FLAIR MR image.
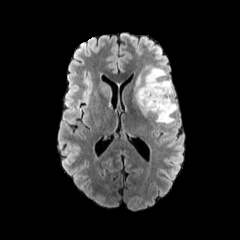
T1-weighted MR image.
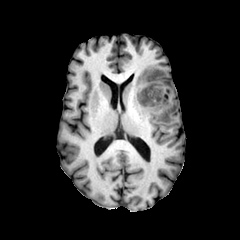
Post-contrast T1-weighted MRI.
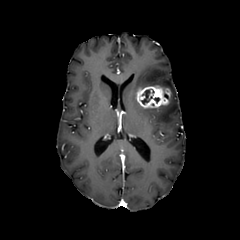
T2-weighted MR image.
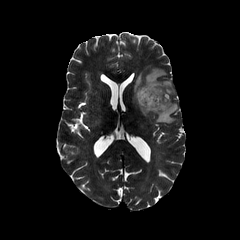
Brain, 240x240
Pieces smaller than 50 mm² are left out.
The enhancing tumor lies within (136,85,171,108). The largest necrotic tumor core region lies within (139,88,154,104). The peritumoral edema is at (133,65,177,123).